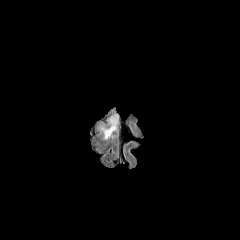
FLAIR MR image.
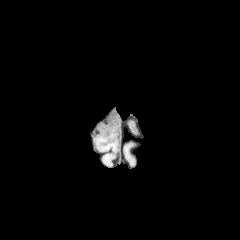
T1-weighted MRI.
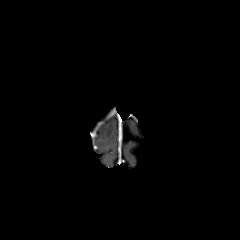
Post-contrast T1-weighted MR.
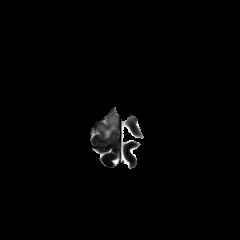
T2-weighted magnetic resonance.
240x240 px, Head
The peritumoral edema is at (x1=100, y1=116, x2=117, y2=139).